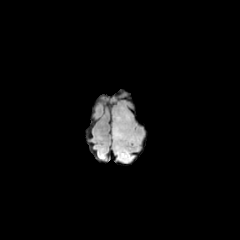
FLAIR MR.
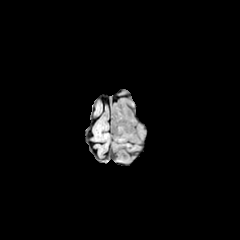
T1-weighted MR image.
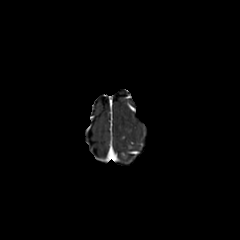
Post-contrast T1-weighted MRI.
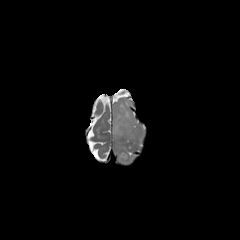
T2-weighted magnetic resonance of the same slice.
240x240 px, Head, Axial view
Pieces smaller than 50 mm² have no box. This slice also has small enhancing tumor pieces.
Annotated regions:
• peritumoral edema: 113,104,136,162